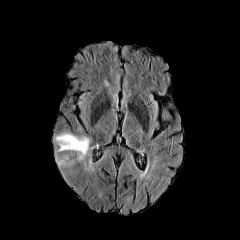
FLAIR MRI.
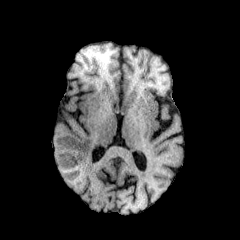
T1-weighted MR of the same slice.
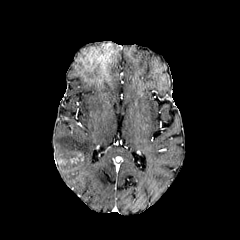
Post-contrast T1-weighted MR of the same slice.
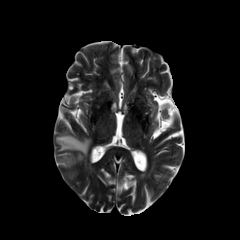
T2-weighted MR image of the same slice.
Head
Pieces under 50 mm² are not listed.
- enhancing tumor: bbox(70, 152, 83, 163)
- peritumoral edema: bbox(55, 133, 90, 158)